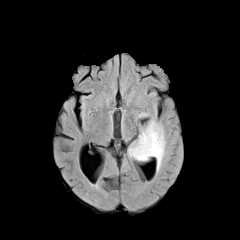
FLAIR magnetic resonance.
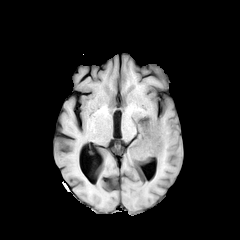
T1-weighted MRI.
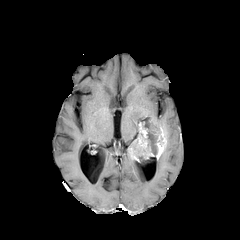
Post-contrast T1-weighted MRI.
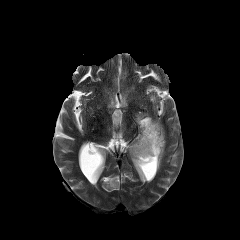
T2-weighted magnetic resonance.
Brain
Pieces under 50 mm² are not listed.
peritumoral edema: bounding box (157,150,165,172)
necrotic tumor core: bounding box (142,123,159,156)
enhancing tumor: bounding box (129,148,139,161), (136,122,154,158), (155,126,166,159)